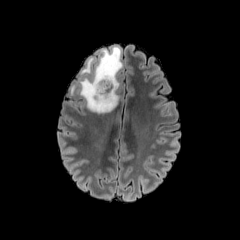
FLAIR MRI.
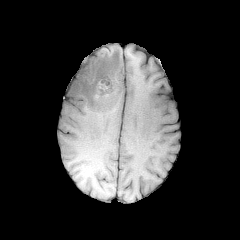
T1-weighted MR image.
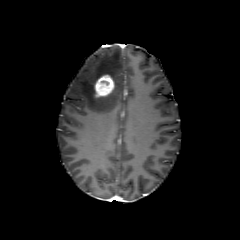
Same slice, post-contrast T1-weighted MR image.
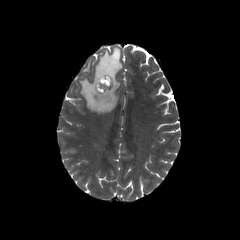
T2-weighted MR of the same slice.
Head
enhancing_tumor:
  - x1=94 y1=74 x2=114 y2=97
peritumoral_edema:
  - x1=70 y1=46 x2=122 y2=113
necrotic_tumor_core:
  - x1=99 y1=80 x2=110 y2=90